Head; Axial plane
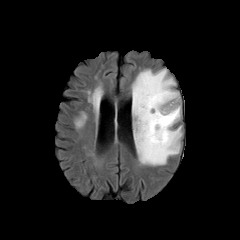
FLAIR MRI.
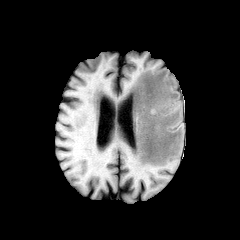
T1-weighted magnetic resonance of the same slice.
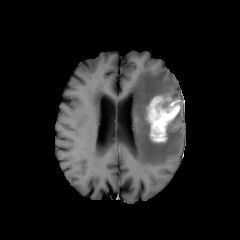
Post-contrast T1-weighted MRI.
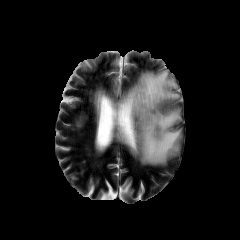
Same slice, T2-weighted MRI.
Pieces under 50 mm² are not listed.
enhancing tumor = (x1=146, y1=94, x2=180, y2=142)
peritumoral edema = (x1=131, y1=68, x2=182, y2=165)